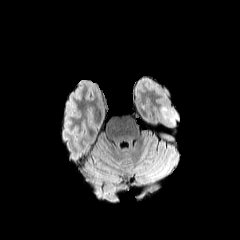
FLAIR magnetic resonance.
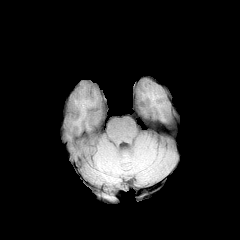
T1-weighted magnetic resonance.
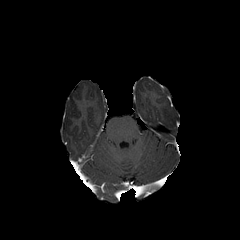
Same slice, post-contrast T1-weighted MR image.
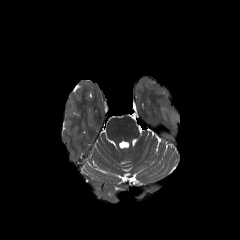
T2-weighted MR.
Head, Image size 240x240
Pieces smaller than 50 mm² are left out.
peritumoral_edema:
  - (left=162, top=107, right=171, bottom=120)